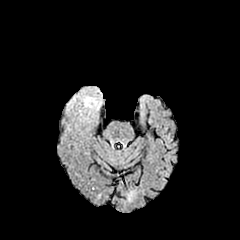
FLAIR magnetic resonance.
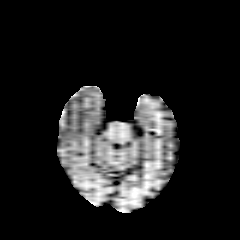
Same slice, T1-weighted magnetic resonance.
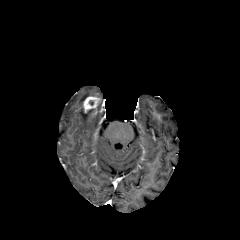
Post-contrast T1-weighted MR image.
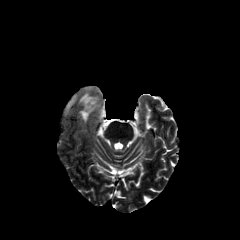
Same slice, T2-weighted MR.
Head, Axial slice
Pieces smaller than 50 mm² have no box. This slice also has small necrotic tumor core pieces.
The enhancing tumor lies within 79,95,100,113. The 2 largest peritumoral edema regions are bounded by 78,109,90,122; 67,90,89,110.